Image width 240 mm. Image size 240x240. Slice 35 of 155.
FLAIR magnetic resonance.
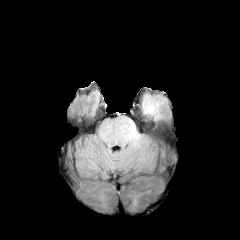
T1-weighted magnetic resonance.
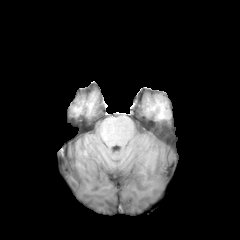
Post-contrast T1-weighted MR.
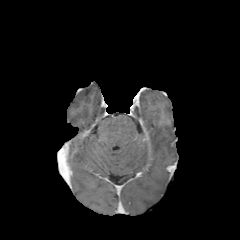
T2-weighted MR.
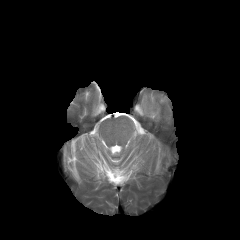
Findings:
- peritumoral edema: l=143, t=98, r=158, b=114